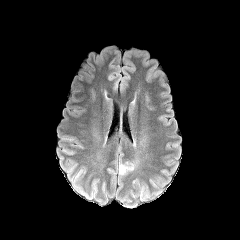
FLAIR MR.
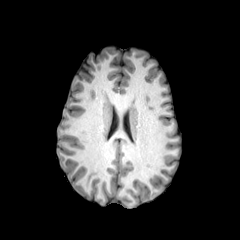
T1-weighted MR image of the same slice.
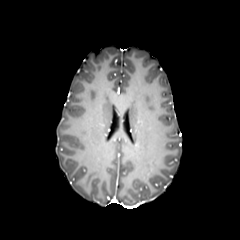
Post-contrast T1-weighted MR.
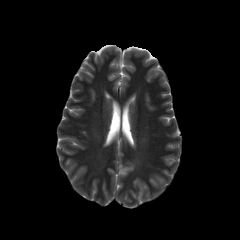
T2-weighted MR image.
Brain
Findings:
- peritumoral edema: (left=119, top=161, right=133, bottom=173)